FLAIR MR image.
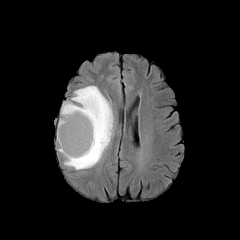
T1-weighted MR image.
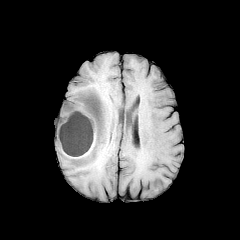
Post-contrast T1-weighted MR image.
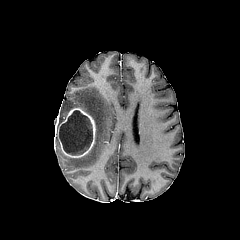
T2-weighted MR.
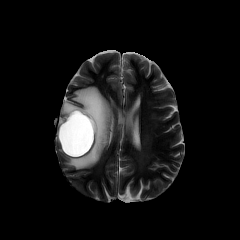
Axial view
enhancing tumor — box(57, 108, 95, 157)
necrotic tumor core — box(59, 110, 92, 154)
peritumoral edema — box(57, 86, 113, 169)